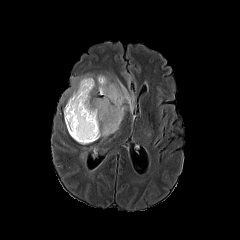
FLAIR MR image.
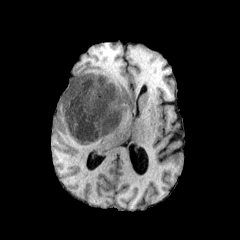
T1-weighted MRI.
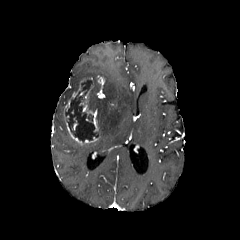
Same slice, post-contrast T1-weighted MR image.
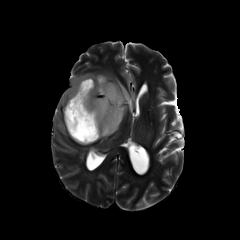
T2-weighted MRI.
Head
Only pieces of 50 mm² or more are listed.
• peritumoral edema: bbox(64, 73, 135, 138)
• enhancing tumor: bbox(64, 77, 100, 144); bbox(96, 75, 105, 89)
• necrotic tumor core: bbox(65, 79, 98, 141)